Axial slice, Image covers 240 mm x 240 mm, Brain, Image size 240x240
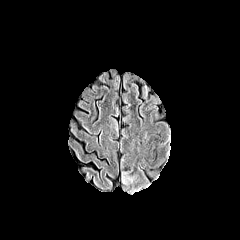
FLAIR MR.
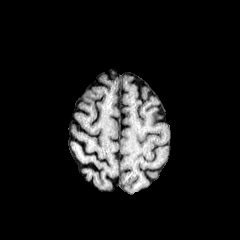
T1-weighted MR image of the same slice.
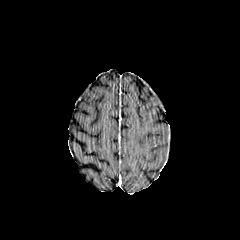
Post-contrast T1-weighted MR.
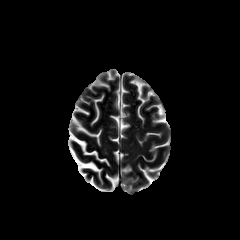
T2-weighted MR of the same slice.
Findings:
- peritumoral edema: (121,172,135,183)